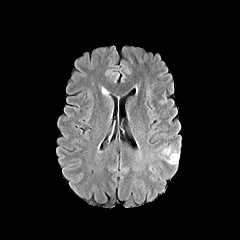
FLAIR magnetic resonance.
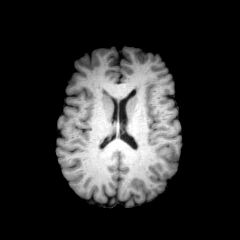
T1-weighted MR.
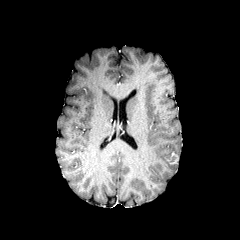
Same slice, post-contrast T1-weighted MR.
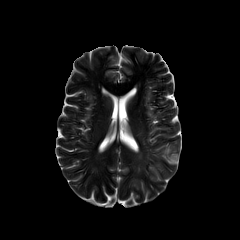
T2-weighted MR image.
Axial view; Brain
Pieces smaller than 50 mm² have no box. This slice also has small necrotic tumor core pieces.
{"peritumoral_edema": ["x1=162 y1=146 x2=172 y2=163"], "enhancing_tumor": ["x1=170 y1=152 x2=178 y2=164"]}